Image width 240 mm; Brain
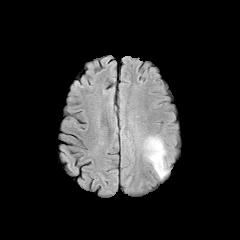
FLAIR MR.
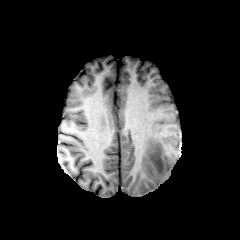
Same slice, T1-weighted magnetic resonance.
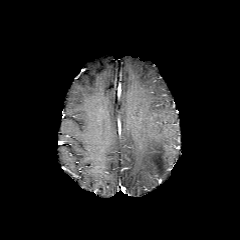
Post-contrast T1-weighted magnetic resonance of the same slice.
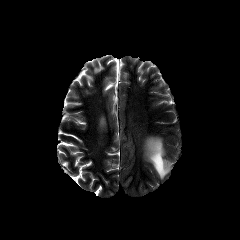
T2-weighted MR of the same slice.
peritumoral edema: 145, 137, 169, 178